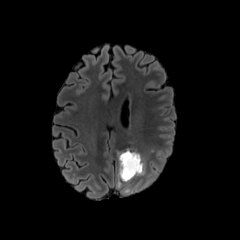
FLAIR MRI.
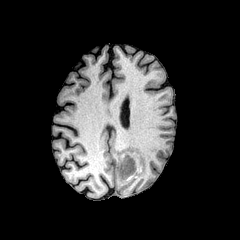
T1-weighted magnetic resonance of the same slice.
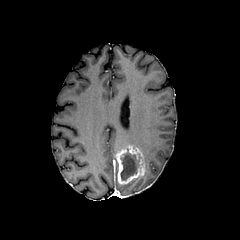
Post-contrast T1-weighted MR image.
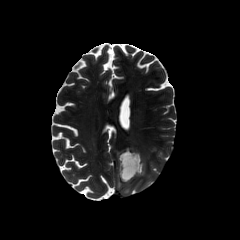
T2-weighted magnetic resonance of the same slice.
Axial slice
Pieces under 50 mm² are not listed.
Findings:
- peritumoral edema: left=123, top=186, right=131, bottom=193
- necrotic tumor core: left=120, top=153, right=138, bottom=180
- enhancing tumor: left=116, top=147, right=145, bottom=184